240x240 px, Slice index 110, Brain, Axial view
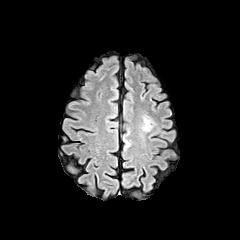
FLAIR MRI.
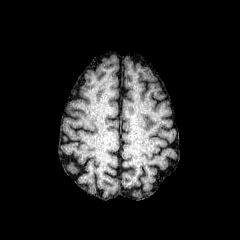
Same slice, T1-weighted magnetic resonance.
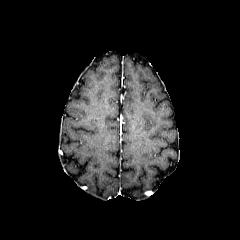
Post-contrast T1-weighted MR.
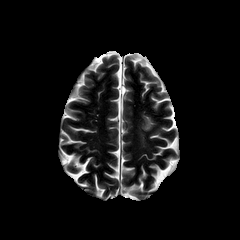
T2-weighted MR.
peritumoral edema: bbox(141, 116, 152, 131)